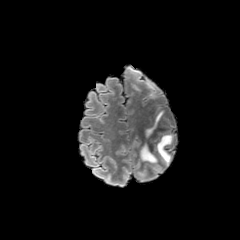
FLAIR MR image.
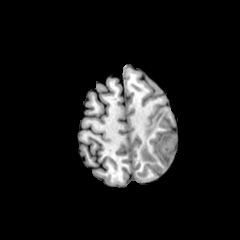
Same slice, T1-weighted MR image.
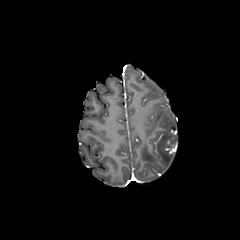
Post-contrast T1-weighted MRI.
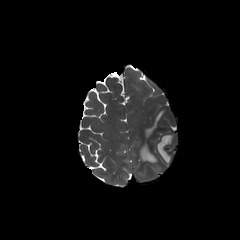
Same slice, T2-weighted MRI.
<segmentation>
  <enhancing_tumor><bbox>166, 138, 175, 153</bbox></enhancing_tumor>
  <peritumoral_edema><bbox>140, 145, 157, 163</bbox>, <bbox>146, 110, 164, 136</bbox>, <bbox>156, 133, 175, 165</bbox></peritumoral_edema>
</segmentation>